FLAIR MR.
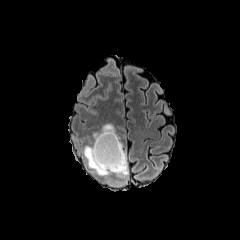
T1-weighted magnetic resonance.
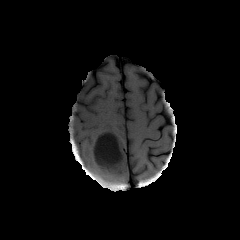
Post-contrast T1-weighted MR.
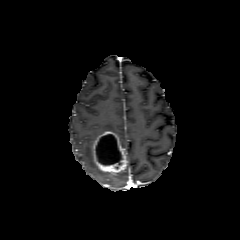
T2-weighted MR.
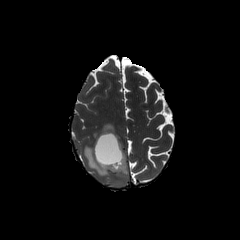
Axial slice | Brain
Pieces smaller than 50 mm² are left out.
The 3 largest peritumoral edema regions appear at (114,166,128,177), (83,145,113,176), (93,123,116,140). The enhancing tumor lies within (92,130,127,174). The largest necrotic tumor core region lies within (96,134,121,165).